FLAIR MRI.
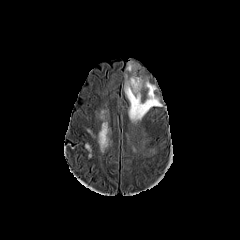
T1-weighted MR image.
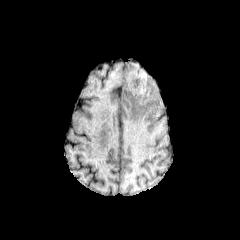
Post-contrast T1-weighted magnetic resonance.
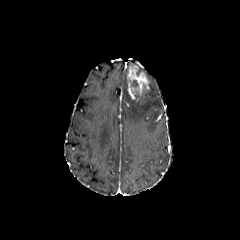
T2-weighted MR image.
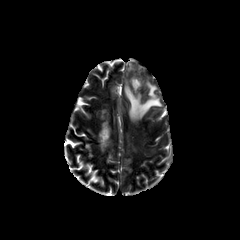
Brain
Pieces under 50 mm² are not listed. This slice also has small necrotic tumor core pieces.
enhancing tumor at l=127, t=64, r=149, b=100
peritumoral edema at l=124, t=75, r=162, b=122